FLAIR MRI.
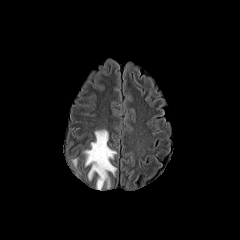
T1-weighted MRI.
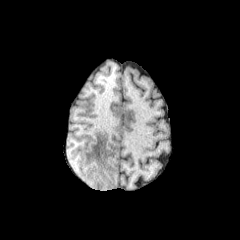
Post-contrast T1-weighted magnetic resonance.
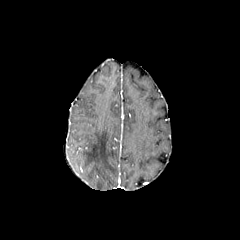
T2-weighted MRI.
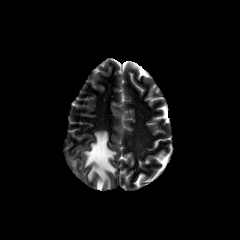
Brain
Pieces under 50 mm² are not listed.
peritumoral edema: [x1=84, y1=130, x2=116, y2=190]